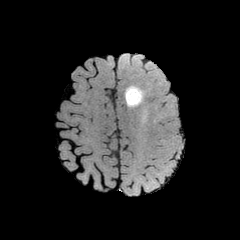
FLAIR MR.
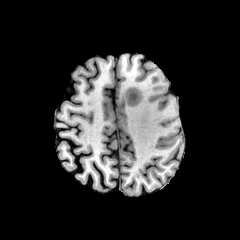
T1-weighted MR.
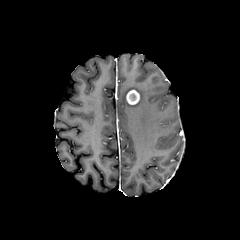
Post-contrast T1-weighted magnetic resonance.
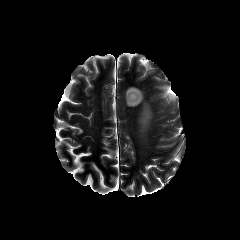
T2-weighted MRI.
Axial plane | Head
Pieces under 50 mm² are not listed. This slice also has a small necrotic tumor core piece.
2 peritumoral edema regions are bounded by 140,107,149,125; 125,86,143,106. The enhancing tumor is located at 126,90,139,104.